FLAIR MRI.
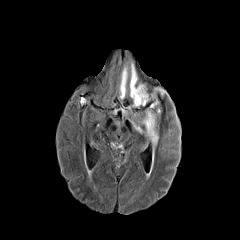
T1-weighted MRI.
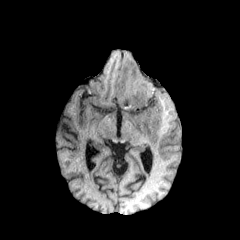
Post-contrast T1-weighted magnetic resonance.
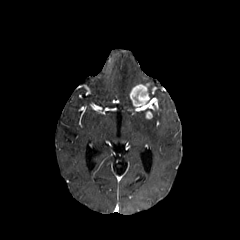
T2-weighted MRI.
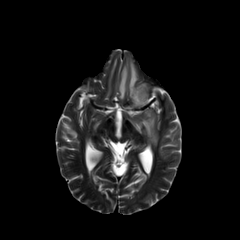
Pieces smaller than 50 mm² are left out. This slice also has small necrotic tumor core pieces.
The 2 largest peritumoral edema regions are bounded by rect(119, 59, 137, 101); rect(132, 113, 158, 149). 3 enhancing tumor regions are bounded by rect(145, 110, 152, 118); rect(129, 84, 150, 108); rect(147, 102, 158, 110).